Image width 240 mm. Brain. Slice index 89. 240x240 px.
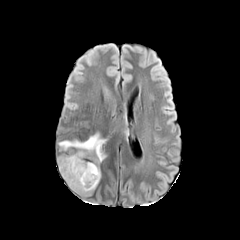
FLAIR MRI.
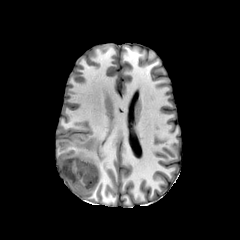
Same slice, T1-weighted MRI.
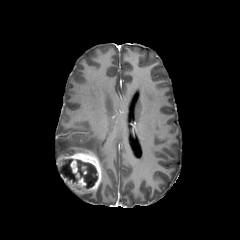
Post-contrast T1-weighted magnetic resonance.
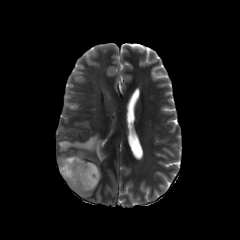
Same slice, T2-weighted MR.
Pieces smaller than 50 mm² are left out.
{"enhancing_tumor": ["(left=57, top=150, right=101, bottom=193)"], "necrotic_tumor_core": ["(left=76, top=160, right=97, bottom=188)", "(left=59, top=159, right=77, bottom=183)"], "peritumoral_edema": ["(left=58, top=133, right=106, bottom=163)"]}